Axial view
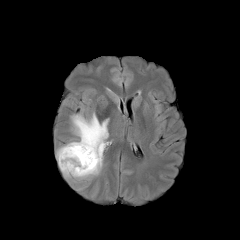
FLAIR MRI.
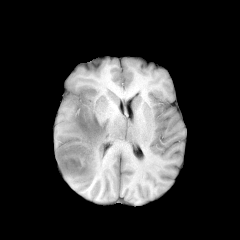
T1-weighted magnetic resonance.
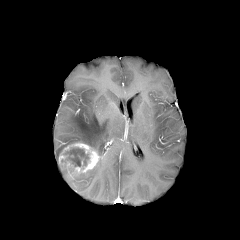
Post-contrast T1-weighted MR image.
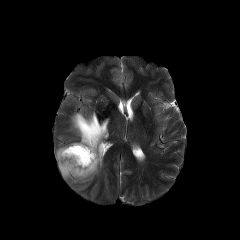
T2-weighted MR.
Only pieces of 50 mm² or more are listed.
enhancing tumor: bounding box (58,142,100,177)
necrotic tumor core: bounding box (64,147,89,166)
peritumoral edema: bounding box (56,112,108,181)